FLAIR MRI.
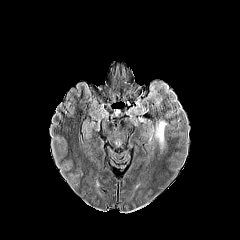
T1-weighted MR image.
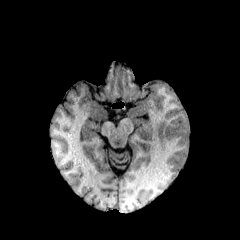
Post-contrast T1-weighted MRI.
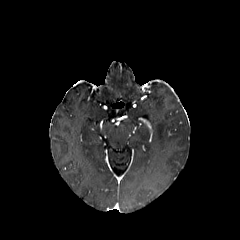
T2-weighted MR.
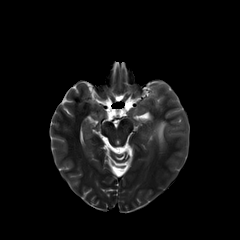
The peritumoral edema is bounded by (left=156, top=121, right=166, bottom=146).